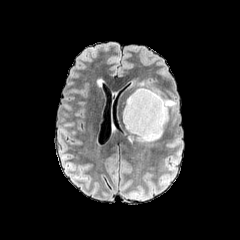
FLAIR magnetic resonance.
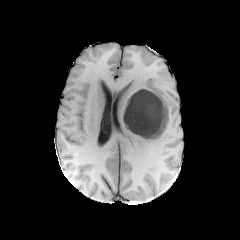
T1-weighted MR image of the same slice.
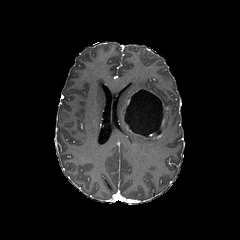
Post-contrast T1-weighted MR image of the same slice.
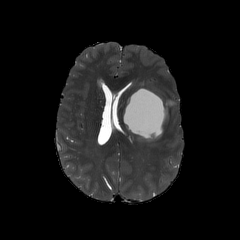
T2-weighted magnetic resonance.
Axial slice, 240x240
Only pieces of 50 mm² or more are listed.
The necrotic tumor core is bounded by [x1=124, y1=89, x2=163, y2=137]. The 2 largest enhancing tumor regions are located at [x1=135, y1=101, x2=166, y2=138], [x1=123, y1=89, x2=140, y2=122]. The largest peritumoral edema region is bounded by [x1=138, y1=136, x2=154, y2=141].